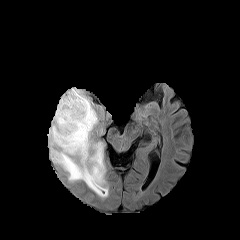
FLAIR MR image.
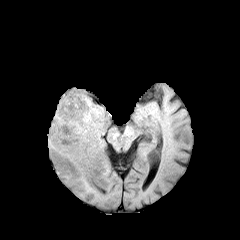
Same slice, T1-weighted magnetic resonance.
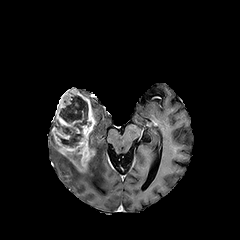
Post-contrast T1-weighted magnetic resonance of the same slice.
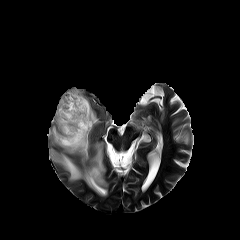
T2-weighted magnetic resonance.
Brain.
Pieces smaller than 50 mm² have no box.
necrotic tumor core: <box>59,95,88,131</box>, <box>57,126,82,147</box>
peritumoral edema: <box>48,122,107,197</box>, <box>91,102,98,127</box>
enhancing tumor: <box>51,88,96,172</box>